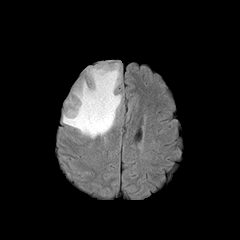
FLAIR MR image.
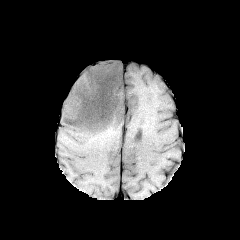
Same slice, T1-weighted magnetic resonance.
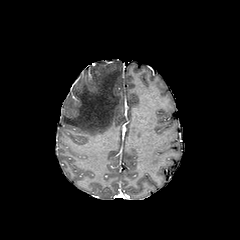
Same slice, post-contrast T1-weighted MR.
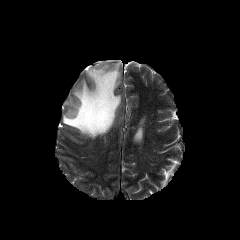
T2-weighted magnetic resonance of the same slice.
Axial slice
Findings:
* peritumoral edema: l=62, t=63, r=121, b=138